FLAIR MR.
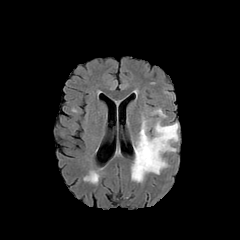
T1-weighted MR image.
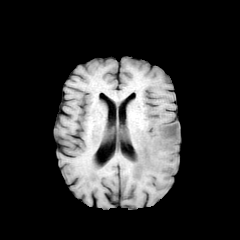
Post-contrast T1-weighted MR image.
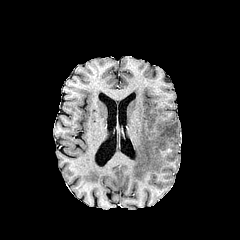
T2-weighted MR.
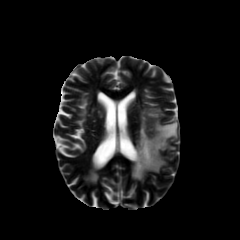
240x240 px
peritumoral_edema:
  - [x1=131, y1=116, x2=178, y2=181]
  - [x1=151, y1=109, x2=164, y2=116]